FLAIR MRI.
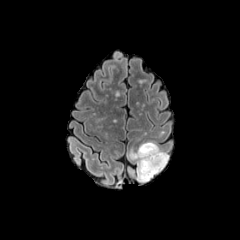
T1-weighted MR image.
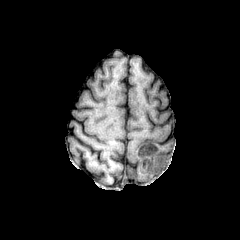
Post-contrast T1-weighted MR.
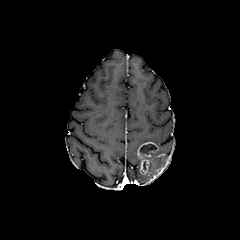
T2-weighted MRI.
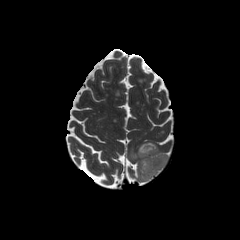
Head.
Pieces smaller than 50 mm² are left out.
{"necrotic_tumor_core": ["140 144 156 154"], "peritumoral_edema": ["128 148 168 181"], "enhancing_tumor": ["137 142 158 174"]}